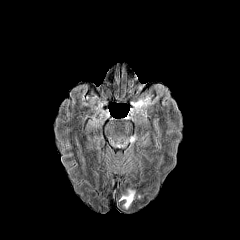
FLAIR MR.
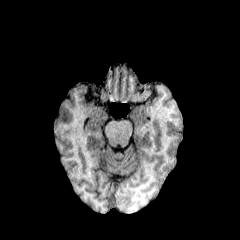
T1-weighted MR of the same slice.
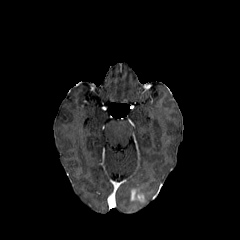
Post-contrast T1-weighted MR image.
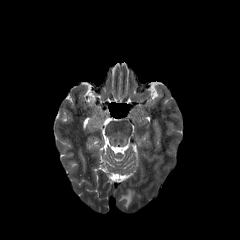
T2-weighted MR of the same slice.
Head.
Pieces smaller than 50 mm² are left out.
Segmented structures:
• peritumoral edema: rect(120, 189, 132, 209)
• enhancing tumor: rect(130, 189, 135, 200)